Brain; 240x240 px; Axial plane
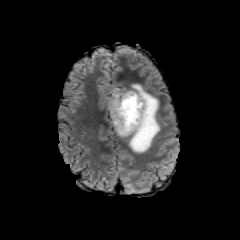
FLAIR MR.
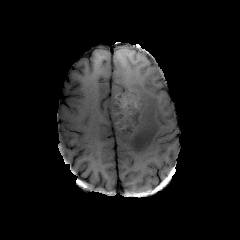
Same slice, T1-weighted MR image.
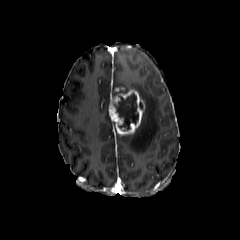
Same slice, post-contrast T1-weighted MR.
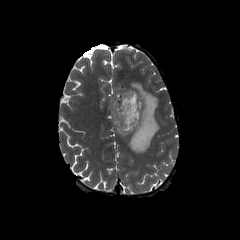
T2-weighted MR image of the same slice.
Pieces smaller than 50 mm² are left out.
necrotic tumor core = (left=114, top=92, right=138, bottom=128)
enhancing tumor = (left=109, top=90, right=145, bottom=135)
peritumoral edema = (left=112, top=83, right=160, bottom=153)